FLAIR MRI.
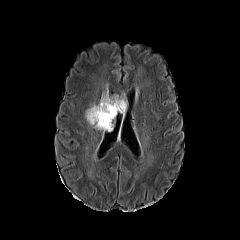
T1-weighted MR.
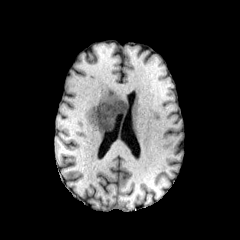
Post-contrast T1-weighted MR.
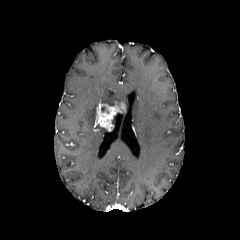
T2-weighted magnetic resonance.
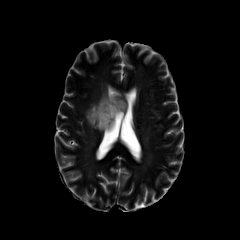
Axial slice; Brain
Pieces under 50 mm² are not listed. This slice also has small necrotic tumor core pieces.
enhancing tumor: (x1=96, y1=102, x2=125, y2=130) | peritumoral edema: (x1=85, y1=103, x2=97, y2=125), (x1=99, y1=90, x2=126, y2=109)